FLAIR MRI.
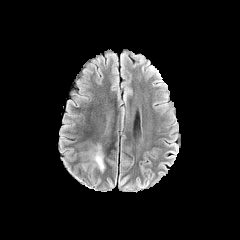
T1-weighted MR image.
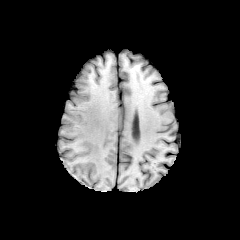
Post-contrast T1-weighted MR.
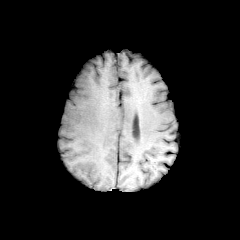
T2-weighted MRI.
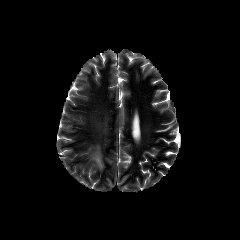
Brain, Axial view
The peritumoral edema is bounded by rect(81, 140, 107, 174).